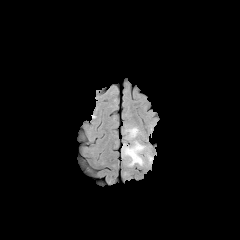
FLAIR magnetic resonance.
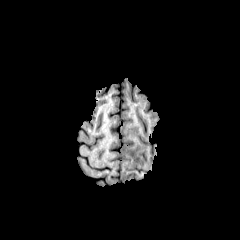
T1-weighted magnetic resonance of the same slice.
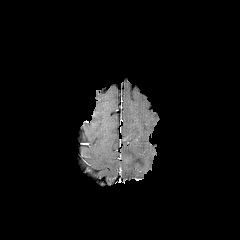
Post-contrast T1-weighted MR image.
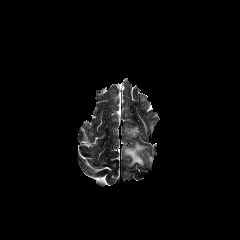
T2-weighted MR image of the same slice.
Head, 240x240, Axial plane
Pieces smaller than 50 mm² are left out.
peritumoral edema: bounding box box=[125, 127, 139, 138]; box=[122, 141, 145, 166]